FLAIR MRI.
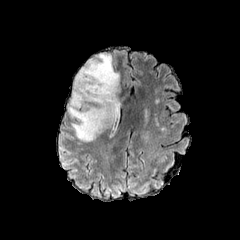
T1-weighted MR.
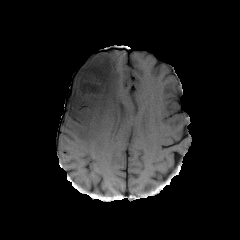
Post-contrast T1-weighted MR.
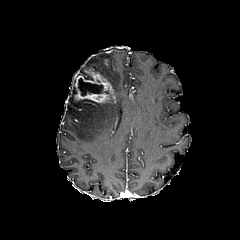
T2-weighted MR.
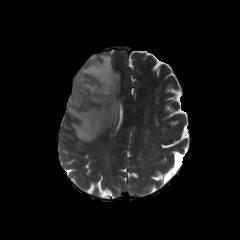
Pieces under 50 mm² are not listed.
necrotic tumor core: 78, 78, 103, 95 | enhancing tumor: 73, 67, 115, 103 | peritumoral edema: 67, 53, 120, 141